Head, Axial slice
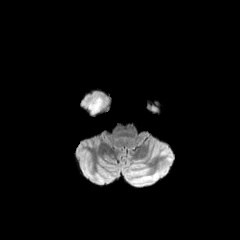
FLAIR MRI.
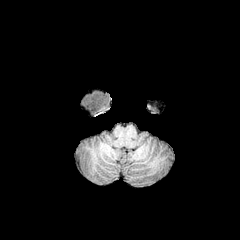
T1-weighted MR.
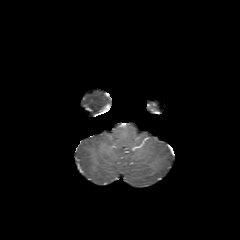
Post-contrast T1-weighted MRI.
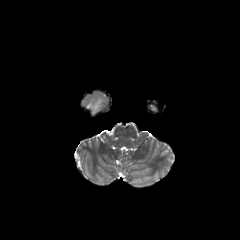
T2-weighted magnetic resonance.
peritumoral edema: bounding box 89,96,106,113